Axial slice; Brain; Image size 240x240
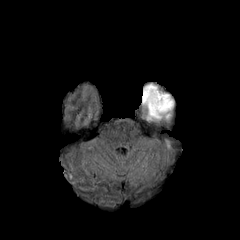
FLAIR MR.
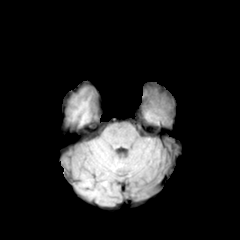
T1-weighted MRI.
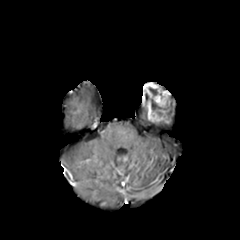
Post-contrast T1-weighted MR image.
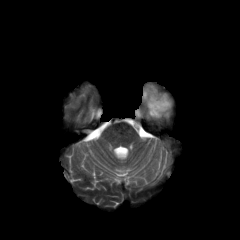
T2-weighted MRI.
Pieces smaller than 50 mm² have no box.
The largest necrotic tumor core region is located at region(151, 99, 166, 111). The largest peritumoral edema region is at region(169, 96, 173, 116). The enhancing tumor is at region(142, 82, 170, 123).